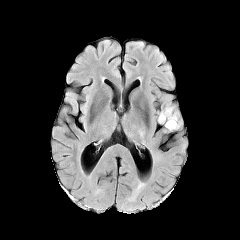
FLAIR MR.
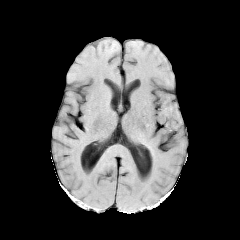
Same slice, T1-weighted magnetic resonance.
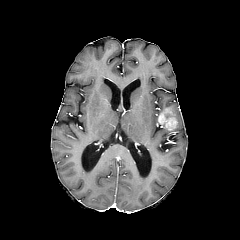
Post-contrast T1-weighted magnetic resonance.
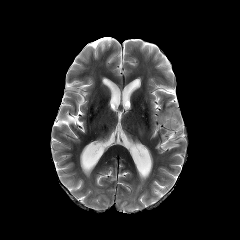
Same slice, T2-weighted MR.
Image size 240x240 | Head
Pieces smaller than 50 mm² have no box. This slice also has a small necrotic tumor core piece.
enhancing tumor: x1=158, y1=108, x2=177, y2=130
peritumoral edema: x1=166, y1=104, x2=182, y2=130